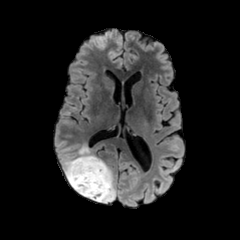
FLAIR magnetic resonance.
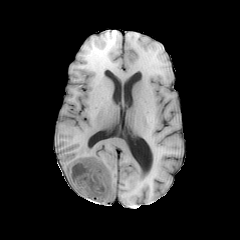
Same slice, T1-weighted MR.
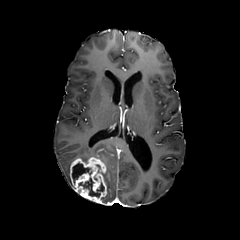
Post-contrast T1-weighted MR of the same slice.
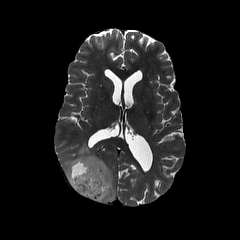
T2-weighted MR of the same slice.
Brain; 240x240
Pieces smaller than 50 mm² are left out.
peritumoral edema: <box>102,164,116,203</box>, <box>62,144,96,183</box>
enhancing tumor: <box>69,156,108,203</box>
necrotic tumor core: <box>72,163,90,183</box>, <box>79,177,104,197</box>